FLAIR MR.
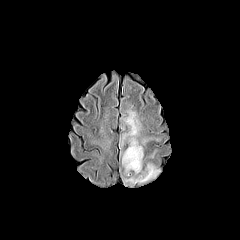
T1-weighted MR.
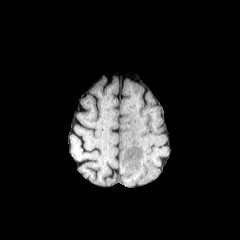
Post-contrast T1-weighted MRI.
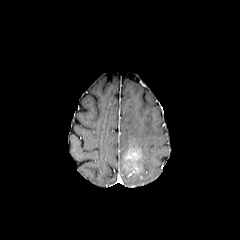
T2-weighted MRI.
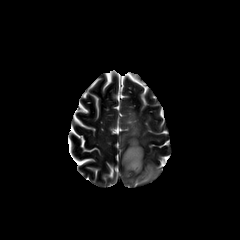
Head; 240x240 px
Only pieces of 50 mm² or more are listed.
• peritumoral edema: 140,136,161,147; 126,162,161,183; 147,147,157,158; 121,108,143,155
• enhancing tumor: 123,146,143,173